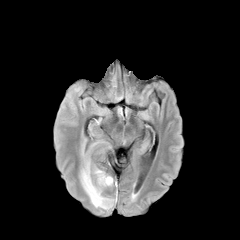
FLAIR MR image.
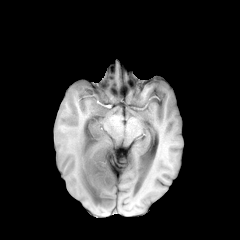
Same slice, T1-weighted MR image.
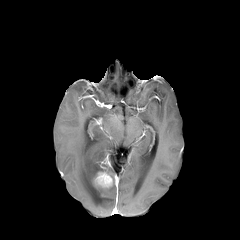
Post-contrast T1-weighted MR of the same slice.
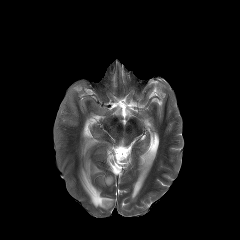
T2-weighted MR image.
Axial plane; 240x240 px
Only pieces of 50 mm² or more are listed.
peritumoral edema at 80,142,113,209
enhancing tumor at 95,172,112,186